Slice 54 of 155, Axial view, Brain
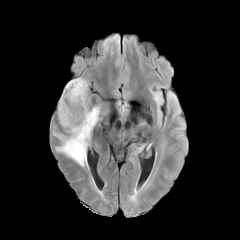
FLAIR MR image.
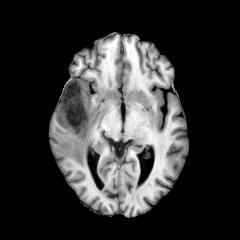
T1-weighted MR of the same slice.
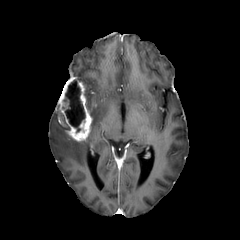
Post-contrast T1-weighted MR image.
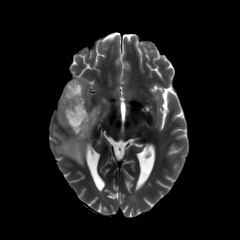
T2-weighted MRI.
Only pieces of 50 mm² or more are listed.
3 peritumoral edema regions are bounded by <bbox>86, 106, 100, 139</bbox>, <bbox>77, 78, 87, 96</bbox>, <bbox>53, 132, 87, 166</bbox>. The 2 largest necrotic tumor core regions appear at <bbox>58, 105, 68, 126</bbox>, <bbox>63, 79, 85, 132</bbox>. The largest enhancing tumor region is located at <bbox>58, 77, 92, 141</bbox>.